Head | Slice 68/155
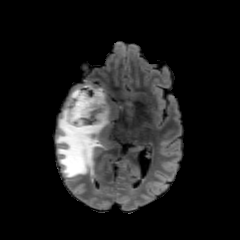
FLAIR MRI.
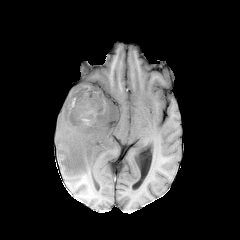
T1-weighted MR image of the same slice.
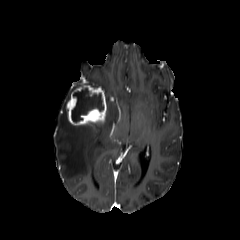
Post-contrast T1-weighted magnetic resonance.
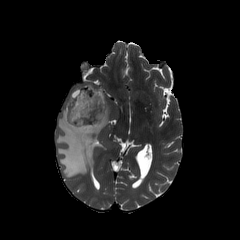
T2-weighted magnetic resonance of the same slice.
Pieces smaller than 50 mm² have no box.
peritumoral edema: x1=56, y1=85, x2=118, y2=177 | enhancing tumor: x1=66, y1=81, x2=106, y2=126 | necrotic tumor core: x1=71, y1=88, x2=103, y2=122